FLAIR MRI.
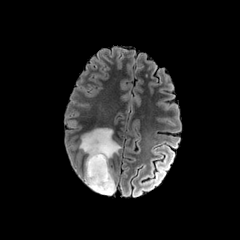
T1-weighted MR image.
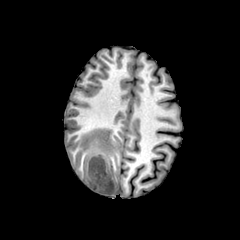
Post-contrast T1-weighted MRI.
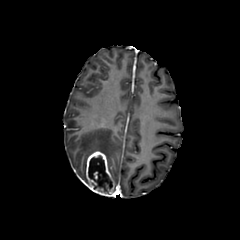
T2-weighted MR.
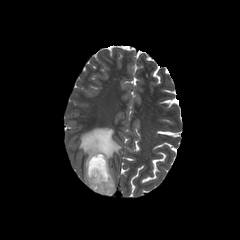
Head. 240x240. Axial plane.
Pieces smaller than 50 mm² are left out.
peritumoral_edema:
  - x1=79 y1=128 x2=120 y2=181
enhancing_tumor:
  - x1=84 y1=151 x2=116 y2=195
necrotic_tumor_core:
  - x1=88 y1=155 x2=112 y2=193